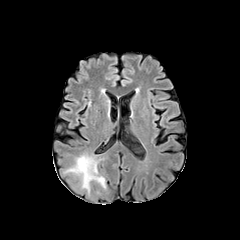
FLAIR MR.
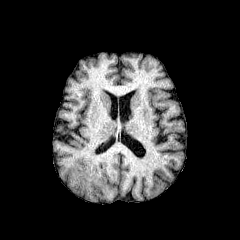
T1-weighted MR image of the same slice.
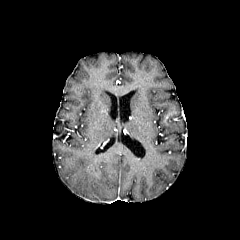
Post-contrast T1-weighted MRI of the same slice.
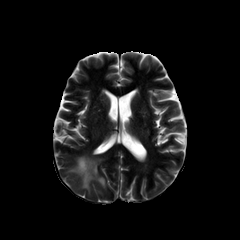
Same slice, T2-weighted MR image.
Head. Axial plane.
The peritumoral edema appears at [x1=69, y1=155, x2=105, y2=188].